Image size 240x240, Axial slice, Head
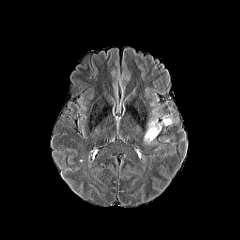
FLAIR MR image.
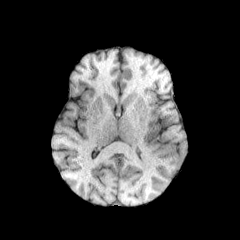
Same slice, T1-weighted MR image.
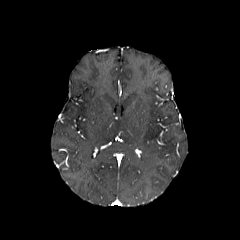
Post-contrast T1-weighted MR image of the same slice.
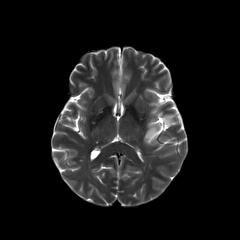
T2-weighted MRI.
Findings:
* peritumoral edema: box=[144, 118, 160, 142]; box=[163, 118, 172, 125]